Image size 240x240; Head
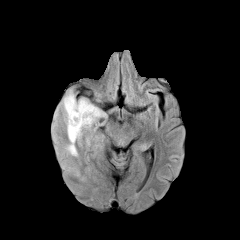
FLAIR MR image.
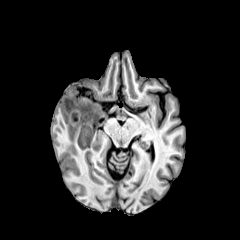
T1-weighted MR.
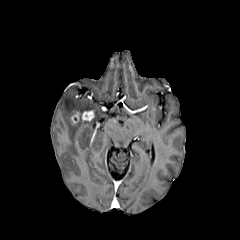
Same slice, post-contrast T1-weighted MR image.
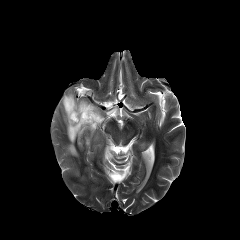
T2-weighted MRI.
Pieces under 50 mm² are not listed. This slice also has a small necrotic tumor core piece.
The 2 largest peritumoral edema regions are located at 94:141:101:151, 54:89:105:156. 2 enhancing tumor regions appear at 81:110:94:121, 70:111:79:123.